Slice 98 of 155; Axial slice
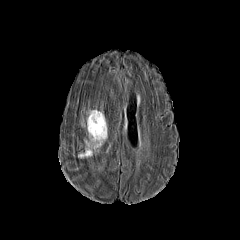
FLAIR MR.
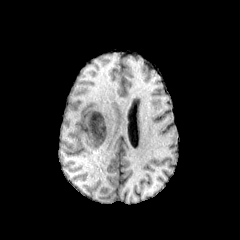
T1-weighted MR image.
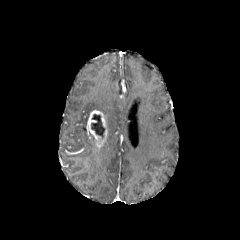
Post-contrast T1-weighted MRI.
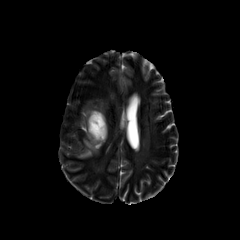
T2-weighted MR image of the same slice.
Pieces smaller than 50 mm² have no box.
necrotic tumor core: left=91, top=114, right=104, bottom=138 | peritumoral edema: left=78, top=132, right=98, bottom=158 | enhancing tumor: left=87, top=110, right=107, bottom=148